Image width 240 mm, 1.00 mm slice spacing, Head, Axial view
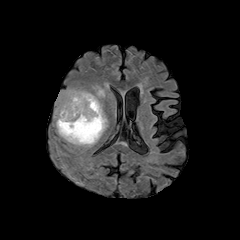
FLAIR MR image.
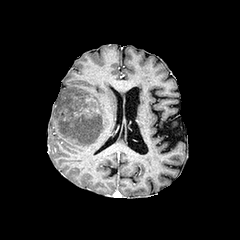
Same slice, T1-weighted MR.
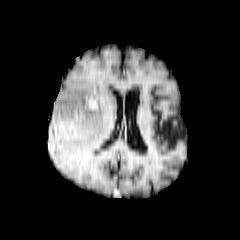
Post-contrast T1-weighted MR of the same slice.
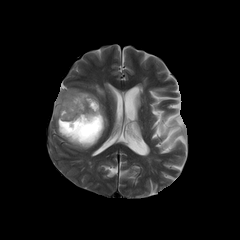
Same slice, T2-weighted MR.
Findings:
• necrotic tumor core: (59,115,102,142)
• peritumoral edema: (54,85,107,148)
• enhancing tumor: (85,96,97,109)